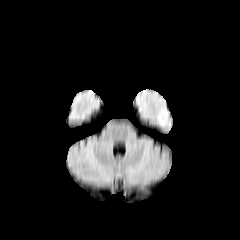
FLAIR MR.
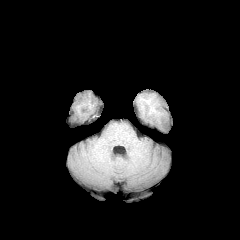
T1-weighted MRI.
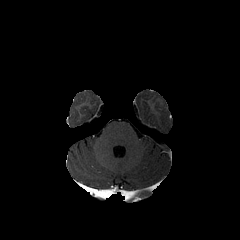
Post-contrast T1-weighted magnetic resonance.
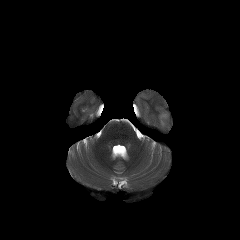
T2-weighted MR image.
Brain; Axial slice
<segmentation>
  <peritumoral_edema>l=158, t=112, r=166, b=125</peritumoral_edema>
</segmentation>